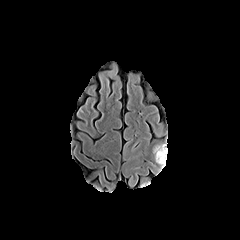
FLAIR MRI.
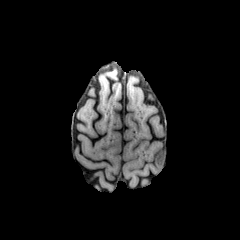
T1-weighted MR image.
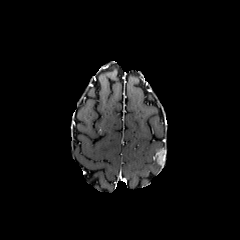
Same slice, post-contrast T1-weighted MR image.
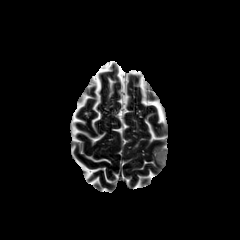
Same slice, T2-weighted MR.
240x240. Brain.
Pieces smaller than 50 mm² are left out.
The largest peritumoral edema region is bounded by x1=153, y1=144, x2=166, y2=153. The enhancing tumor is bounded by x1=155, y1=148, x2=166, y2=166.